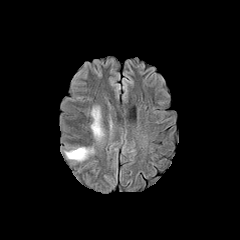
FLAIR MR.
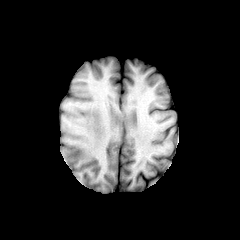
T1-weighted magnetic resonance.
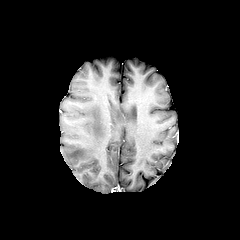
Post-contrast T1-weighted MRI.
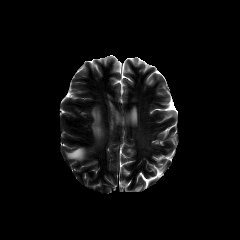
T2-weighted MR of the same slice.
Brain. Axial slice.
peritumoral edema at <box>65,147,92,160</box>, <box>91,109,103,138</box>